Head. Slice index 69. Image size 240x240. Axial slice.
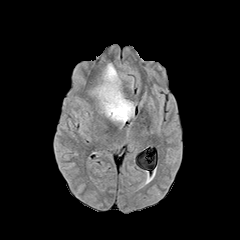
FLAIR MR.
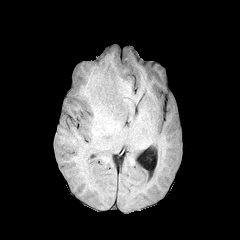
T1-weighted magnetic resonance.
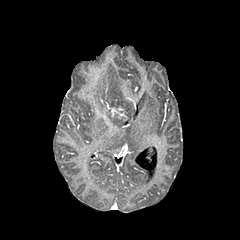
Post-contrast T1-weighted MR.
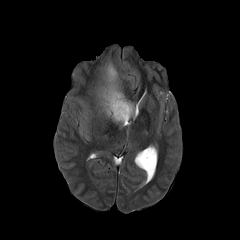
T2-weighted MR.
peritumoral edema: x1=92, y1=63, x2=134, y2=123
enhancing tumor: x1=107, y1=104, x2=125, y2=117